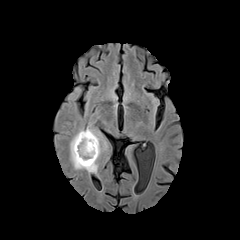
FLAIR magnetic resonance.
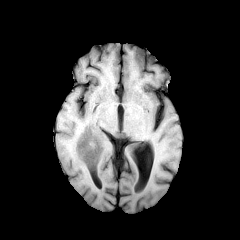
T1-weighted MR.
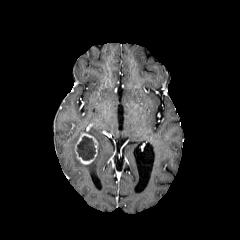
Post-contrast T1-weighted MRI.
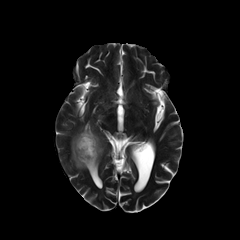
T2-weighted magnetic resonance of the same slice.
Axial plane | Image size 240x240 | Head
{
  "enhancing_tumor": [
    "75 133 98 164"
  ],
  "necrotic_tumor_core": [
    "76 136 95 160"
  ],
  "peritumoral_edema": [
    "68 109 108 174",
    "67 86 81 102"
  ]
}